Slice 69 of 155; Axial view
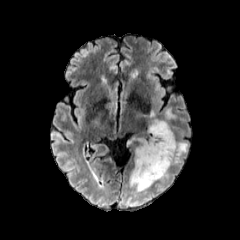
FLAIR MR image.
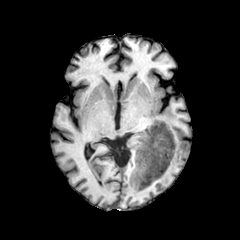
T1-weighted MRI of the same slice.
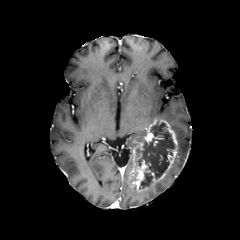
Post-contrast T1-weighted magnetic resonance of the same slice.
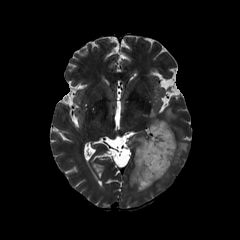
T2-weighted magnetic resonance.
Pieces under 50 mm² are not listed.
Annotated regions:
- necrotic tumor core: box=[140, 172, 152, 188]; box=[138, 122, 174, 178]
- enhancing tumor: box=[129, 118, 178, 191]
- peritumoral edema: box=[164, 108, 175, 123]; box=[173, 135, 188, 164]